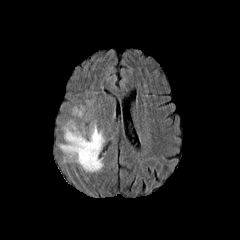
FLAIR MR.
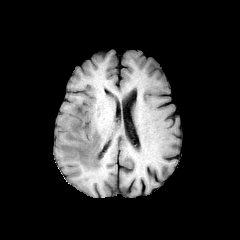
Same slice, T1-weighted MR.
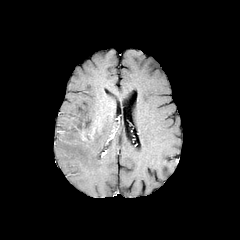
Post-contrast T1-weighted MR image.
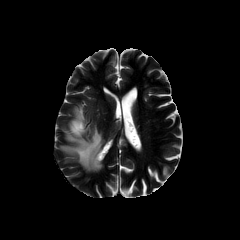
T2-weighted magnetic resonance of the same slice.
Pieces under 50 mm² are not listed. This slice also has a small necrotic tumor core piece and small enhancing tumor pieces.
peritumoral edema: 59, 105, 104, 172